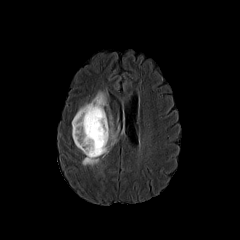
FLAIR MR image.
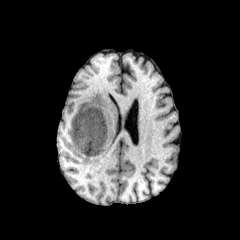
Same slice, T1-weighted MRI.
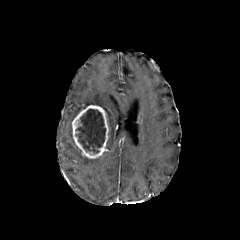
Post-contrast T1-weighted MRI.
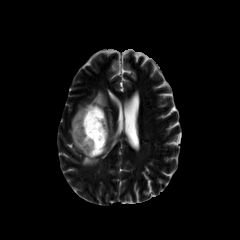
Same slice, T2-weighted MRI.
Axial plane, Brain
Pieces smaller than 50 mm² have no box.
<segmentation>
  <enhancing_tumor>rect(72, 105, 109, 158)</enhancing_tumor>
  <necrotic_tumor_core>rect(76, 109, 105, 153)</necrotic_tumor_core>
  <peritumoral_edema>rect(82, 113, 116, 166); rect(75, 91, 108, 116)</peritumoral_edema>
</segmentation>